Image covers 240 mm x 240 mm; Axial view; Image size 240x240; Brain
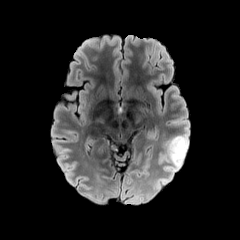
FLAIR magnetic resonance.
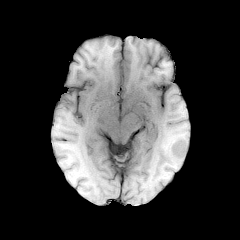
T1-weighted magnetic resonance.
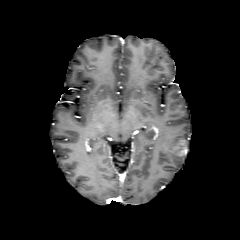
Post-contrast T1-weighted MR image.
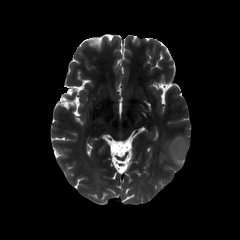
T2-weighted magnetic resonance of the same slice.
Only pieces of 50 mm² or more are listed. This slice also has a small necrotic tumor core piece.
enhancing tumor — 173, 139, 187, 157
peritumoral edema — 158, 131, 189, 184